Slice 72/155; Image width 240 mm; Axial plane
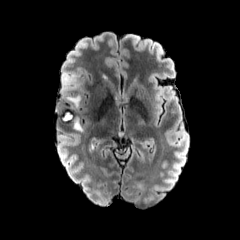
FLAIR MRI.
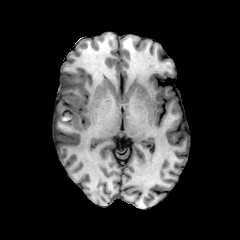
Same slice, T1-weighted MR.
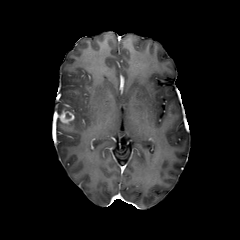
Post-contrast T1-weighted MR image.
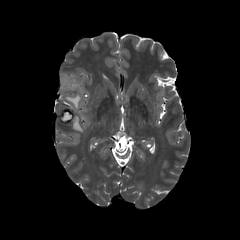
T2-weighted MRI.
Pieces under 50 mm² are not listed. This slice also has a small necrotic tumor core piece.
peritumoral edema: bounding box [x1=73, y1=119, x2=82, y2=131], [x1=65, y1=95, x2=81, y2=107], [x1=61, y1=71, x2=77, y2=92]
enhancing tumor: bounding box [x1=59, y1=111, x2=73, y2=123]